FLAIR MRI.
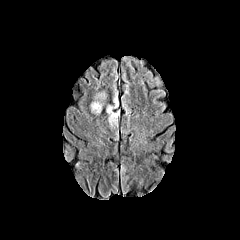
T1-weighted MR image.
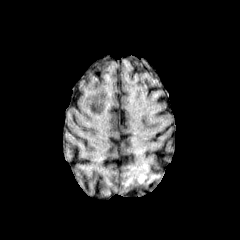
Post-contrast T1-weighted MR image.
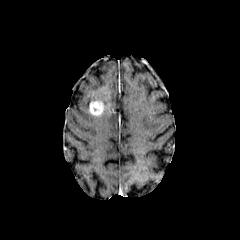
T2-weighted MRI.
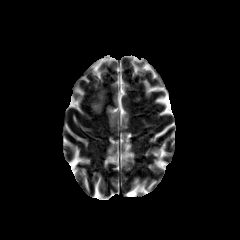
Head. Axial view.
2 peritumoral edema regions are located at {"x1": 105, "y1": 92, "x2": 118, "y2": 124}, {"x1": 95, "y1": 92, "x2": 105, "y2": 101}. The enhancing tumor lies within {"x1": 89, "y1": 100, "x2": 103, "y2": 115}.